FLAIR MR.
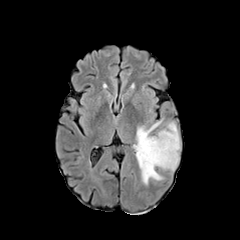
T1-weighted MR.
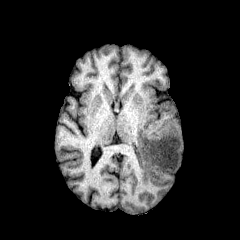
Post-contrast T1-weighted magnetic resonance.
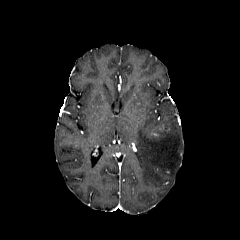
T2-weighted MRI.
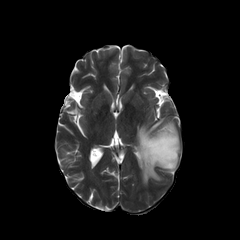
Axial plane, Head
peritumoral edema: rect(136, 120, 180, 184)